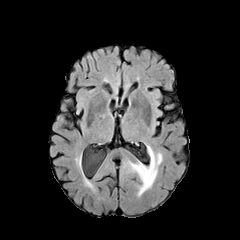
FLAIR MR image.
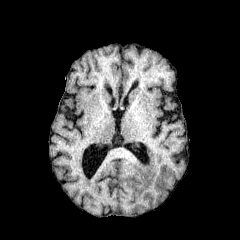
Same slice, T1-weighted MRI.
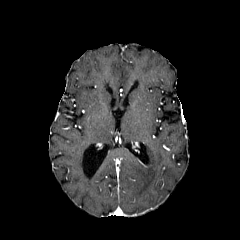
Post-contrast T1-weighted MR of the same slice.
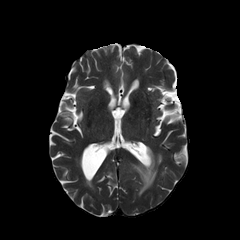
T2-weighted MR image.
Image size 240x240
Segmented structures:
• peritumoral edema: 129, 147, 162, 195